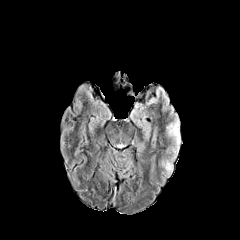
FLAIR MR image.
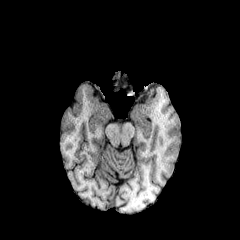
Same slice, T1-weighted magnetic resonance.
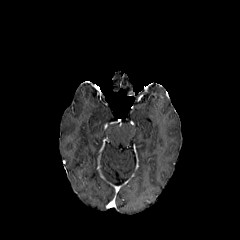
Post-contrast T1-weighted magnetic resonance of the same slice.
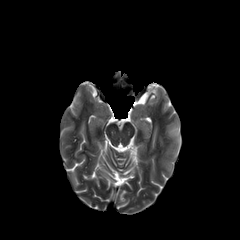
T2-weighted MR image of the same slice.
2 peritumoral edema regions are located at {"x1": 167, "y1": 122, "x2": 179, "y2": 144}, {"x1": 162, "y1": 160, "x2": 172, "y2": 171}.